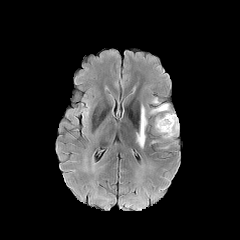
FLAIR MR.
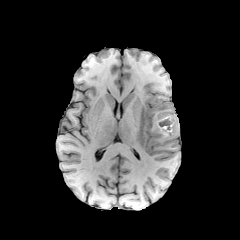
T1-weighted magnetic resonance.
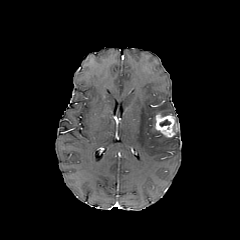
Post-contrast T1-weighted MRI of the same slice.
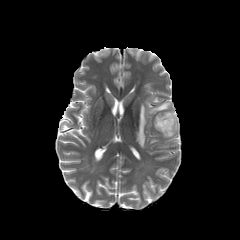
Same slice, T2-weighted MR image.
Brain
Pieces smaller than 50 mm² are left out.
enhancing tumor — [155, 114, 178, 137]
necrotic tumor core — [159, 119, 170, 126]
peritumoral edema — [136, 105, 147, 148], [149, 103, 178, 123]